Brain
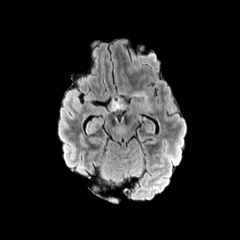
FLAIR MRI.
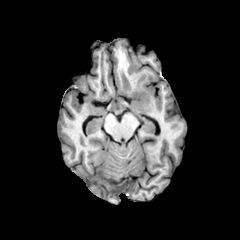
T1-weighted MR.
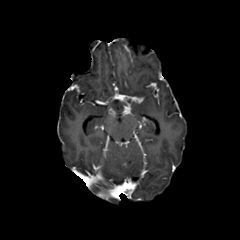
Same slice, post-contrast T1-weighted magnetic resonance.
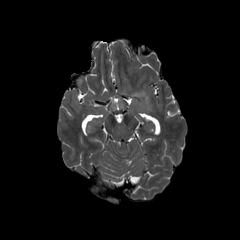
T2-weighted MR image.
{"peritumoral_edema": ["x1=112 y1=99 x2=124 y2=109", "x1=134 y1=91 x2=150 y2=110"], "enhancing_tumor": ["x1=113 y1=94 x2=143 y2=102", "x1=145 y1=83 x2=158 y2=103", "x1=124 y1=101 x2=130 y2=113"]}